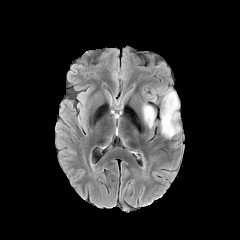
FLAIR magnetic resonance.
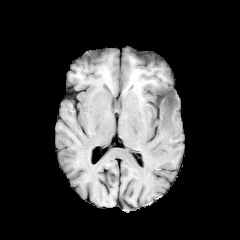
Same slice, T1-weighted magnetic resonance.
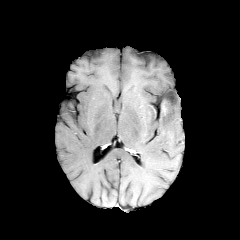
Post-contrast T1-weighted MRI of the same slice.
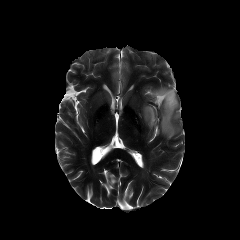
Same slice, T2-weighted MR image.
240x240 px.
{"peritumoral_edema": ["region(152, 88, 180, 138)", "region(142, 104, 155, 128)"], "necrotic_tumor_core": ["region(164, 92, 175, 108)"]}